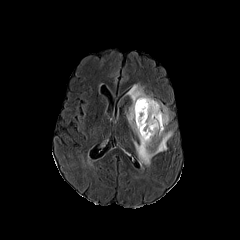
FLAIR MR image.
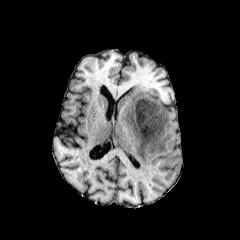
T1-weighted MR image.
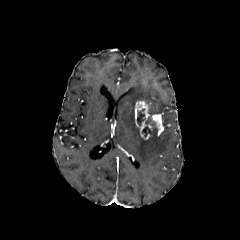
Same slice, post-contrast T1-weighted magnetic resonance.
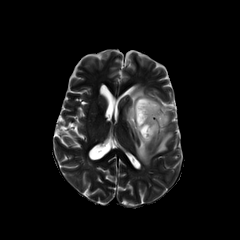
T2-weighted MRI.
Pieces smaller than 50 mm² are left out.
{"necrotic_tumor_core": ["box=[142, 126, 150, 136]", "box=[137, 111, 144, 125]"], "enhancing_tumor": ["box=[135, 100, 152, 139]", "box=[152, 114, 164, 135]"], "peritumoral_edema": ["box=[125, 84, 172, 165]"]}